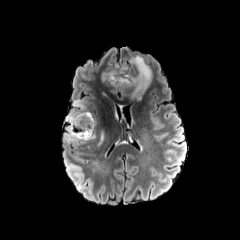
FLAIR MR.
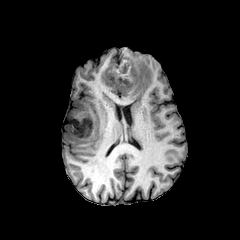
T1-weighted MR.
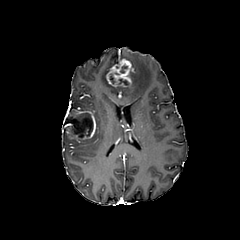
Post-contrast T1-weighted MRI.
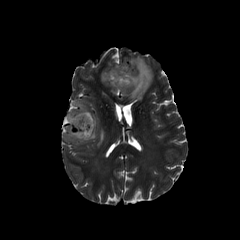
T2-weighted MR.
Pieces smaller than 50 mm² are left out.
* peritumoral edema: 129:55:152:100, 73:100:86:110
* enhancing tumor: 106:59:133:87, 66:109:95:140
* necrotic tumor core: 66:113:92:137